240x240 | Axial plane
FLAIR MR image.
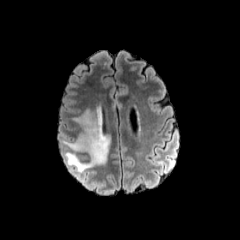
T1-weighted MR image.
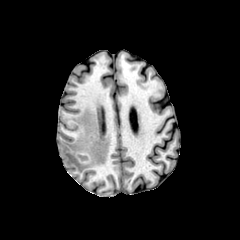
Post-contrast T1-weighted MRI.
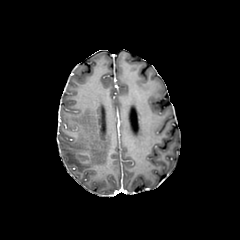
T2-weighted MRI.
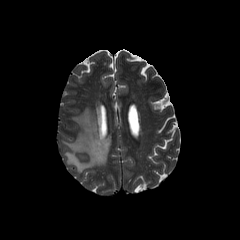
peritumoral edema — [62, 106, 110, 173]